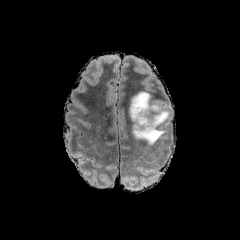
FLAIR magnetic resonance.
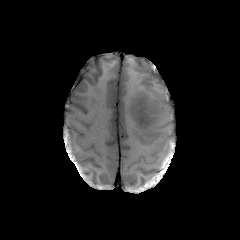
T1-weighted MR of the same slice.
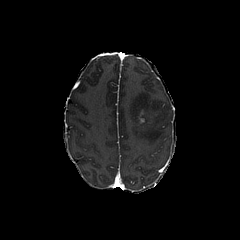
Same slice, post-contrast T1-weighted MR image.
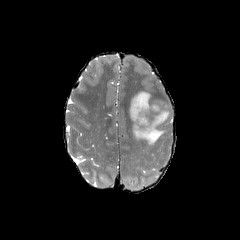
Same slice, T2-weighted magnetic resonance.
Axial view, 240x240
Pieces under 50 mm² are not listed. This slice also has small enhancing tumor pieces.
Segmented structures:
• peritumoral edema: bbox=[129, 91, 168, 144]